FLAIR magnetic resonance.
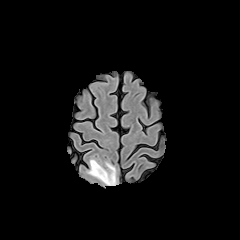
T1-weighted MRI.
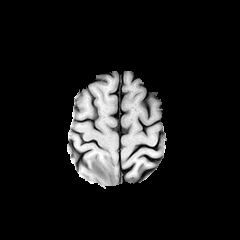
Post-contrast T1-weighted magnetic resonance.
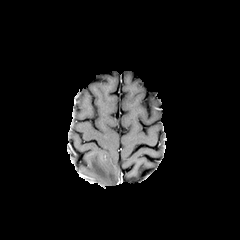
T2-weighted MRI.
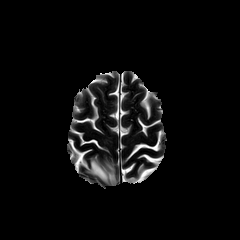
Axial view
peritumoral edema — [87,158,116,185]